Image width 240 mm; 240x240 px
FLAIR MR.
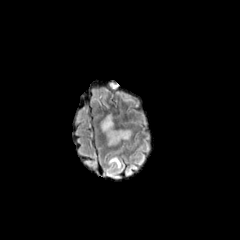
T1-weighted MR image.
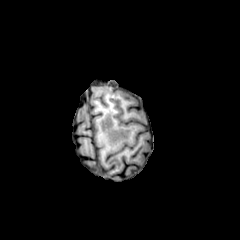
Post-contrast T1-weighted MRI.
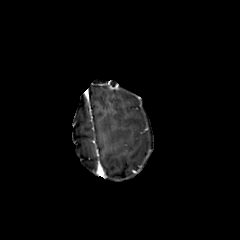
T2-weighted MRI.
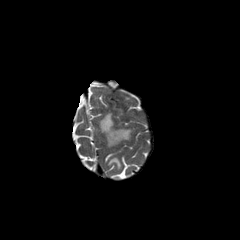
Findings:
• peritumoral edema: <box>109,157,121,168</box>, <box>100,113,132,145</box>